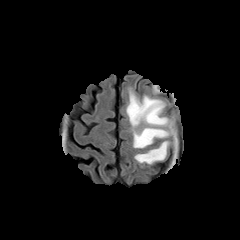
FLAIR MR.
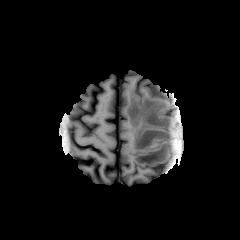
Same slice, T1-weighted MR image.
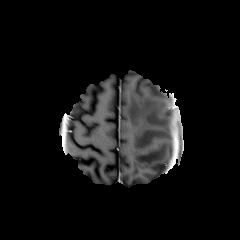
Post-contrast T1-weighted MR of the same slice.
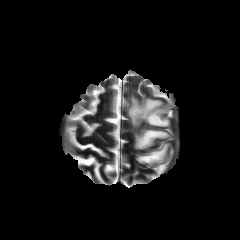
T2-weighted MR image.
Axial view | Brain | 240x240
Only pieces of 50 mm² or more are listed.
{
  "peritumoral_edema": [
    "[135, 141, 169, 164]",
    "[126, 92, 171, 148]"
  ]
}